FLAIR MR image.
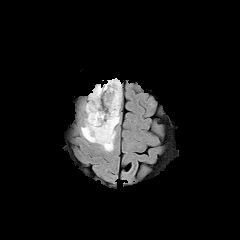
T1-weighted MR.
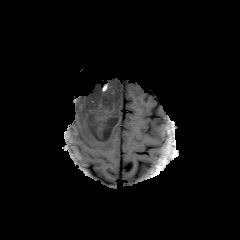
Post-contrast T1-weighted MR image.
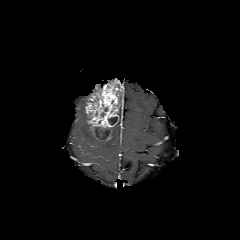
T2-weighted MR.
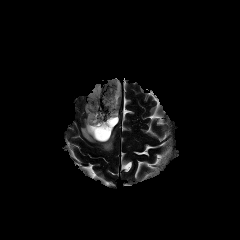
Axial plane. Head.
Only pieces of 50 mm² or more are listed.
Segmented structures:
- necrotic tumor core: 108:117:117:124, 94:127:110:140
- enhancing tumor: 85:79:121:141
- peritumoral edema: 81:117:115:151